FLAIR MR image.
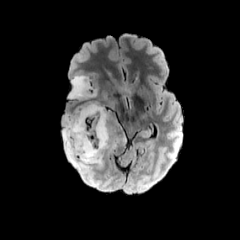
T1-weighted MR image.
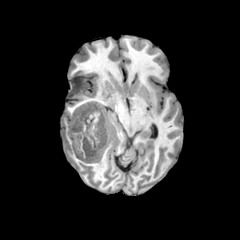
Post-contrast T1-weighted MR.
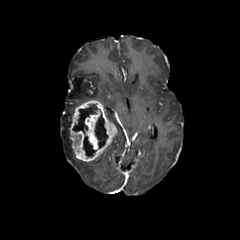
T2-weighted magnetic resonance.
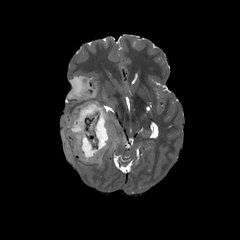
Brain. 240x240 px.
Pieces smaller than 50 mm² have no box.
enhancing tumor: [x1=69, y1=100, x2=116, y2=161] | necrotic tumor core: [x1=83, y1=136, x2=95, y2=156], [x1=72, y1=104, x2=97, y2=133], [x1=95, y1=114, x2=108, y2=148] | peritumoral edema: [x1=62, y1=115, x2=102, y2=169], [x1=68, y1=76, x2=96, y2=100]